Axial slice. Head. 240x240. Slice 114/155.
FLAIR magnetic resonance.
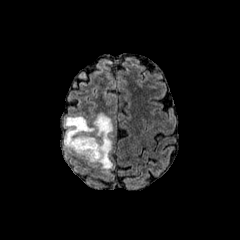
T1-weighted magnetic resonance.
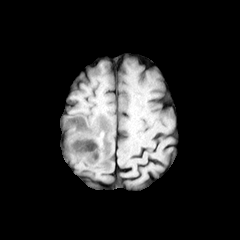
Post-contrast T1-weighted MR image.
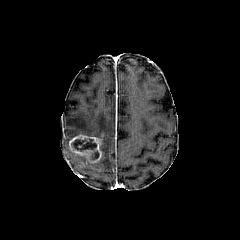
T2-weighted MRI.
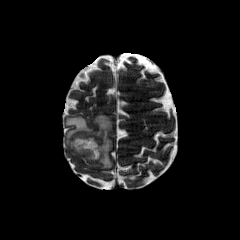
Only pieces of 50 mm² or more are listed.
peritumoral_edema:
  - 64,113,112,169
necrotic_tumor_core:
  - 71,139,96,151
  - 91,151,99,159
enhancing_tumor:
  - 69,134,102,163